Brain
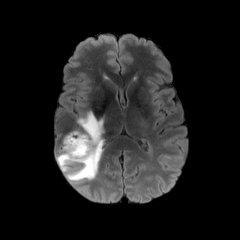
FLAIR MR image.
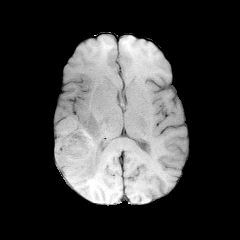
T1-weighted MR image of the same slice.
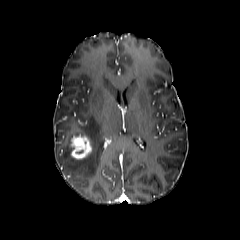
Post-contrast T1-weighted MR image of the same slice.
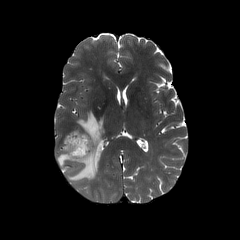
Same slice, T2-weighted magnetic resonance.
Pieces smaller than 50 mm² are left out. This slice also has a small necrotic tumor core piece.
The enhancing tumor is at 70,134,92,159. The peritumoral edema is located at 56,111,104,181.